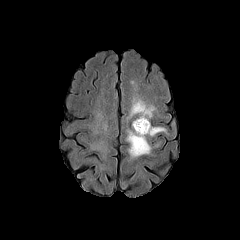
FLAIR MR image.
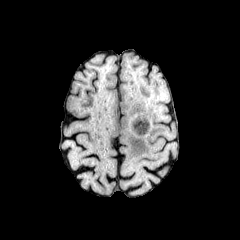
T1-weighted MR image.
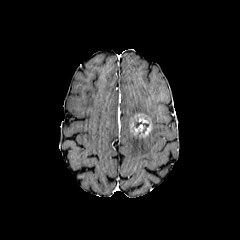
Same slice, post-contrast T1-weighted MR.
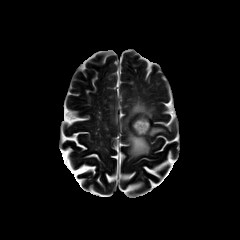
Same slice, T2-weighted MR.
Axial view | Brain
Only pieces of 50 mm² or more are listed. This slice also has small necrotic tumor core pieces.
enhancing tumor at [130,113,152,137]
peritumoral edema at [148,127,165,136], [127,130,150,157], [127,98,154,118]